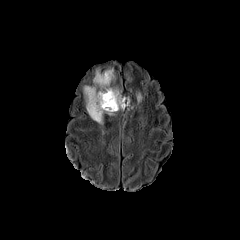
FLAIR MR.
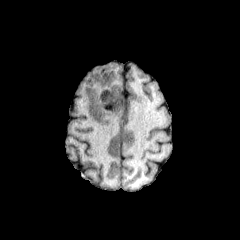
Same slice, T1-weighted MRI.
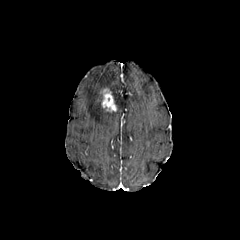
Post-contrast T1-weighted MR.
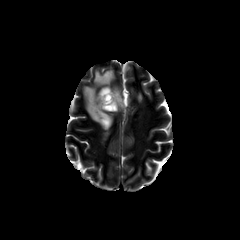
Same slice, T2-weighted MRI.
Axial plane.
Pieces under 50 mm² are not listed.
<segmentation>
  <peritumoral_edema>83, 69, 129, 123</peritumoral_edema>
  <enhancing_tumor>100, 88, 116, 111</enhancing_tumor>
</segmentation>